240x240 px
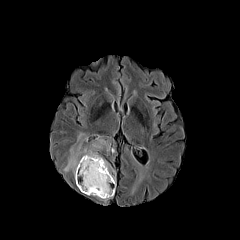
FLAIR MR.
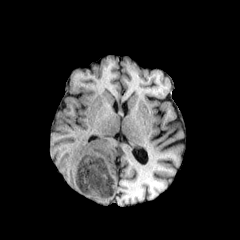
T1-weighted MR.
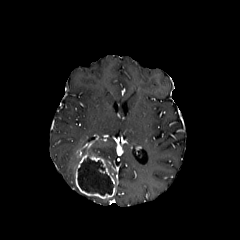
Post-contrast T1-weighted MR.
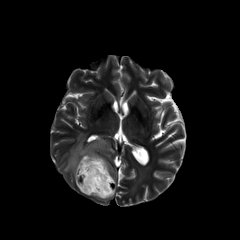
T2-weighted magnetic resonance.
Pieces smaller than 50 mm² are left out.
necrotic tumor core: (x1=77, y1=157, x2=113, y2=195) | peritumoral edema: (x1=63, y1=133, x2=116, y2=175), (x1=106, y1=161, x2=116, y2=181) | enhancing tumor: (x1=75, y1=154, x2=115, y2=199)